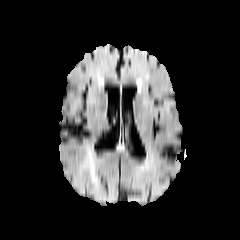
FLAIR magnetic resonance.
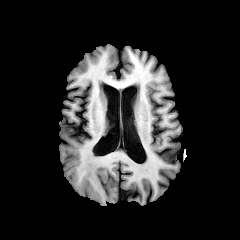
T1-weighted MRI of the same slice.
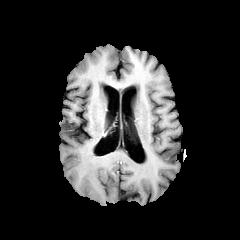
Post-contrast T1-weighted MRI.
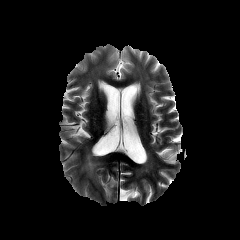
Same slice, T2-weighted magnetic resonance.
Head
The peritumoral edema is bounded by x1=82, y1=152, x2=96, y2=183.